FLAIR MRI.
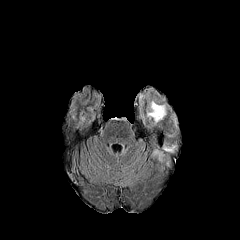
T1-weighted MR image.
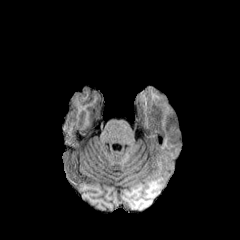
Post-contrast T1-weighted MR.
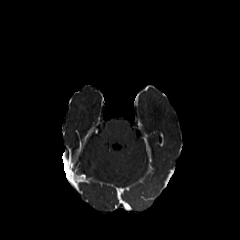
T2-weighted magnetic resonance.
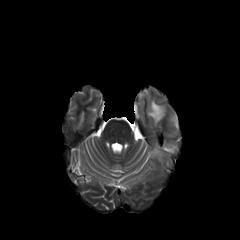
240x240 px, Brain
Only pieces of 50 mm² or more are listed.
peritumoral edema: box(147, 100, 165, 123); box(163, 145, 176, 152)